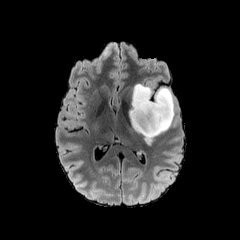
FLAIR MR image.
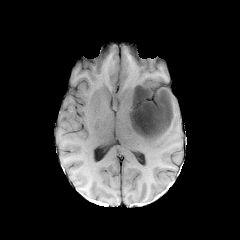
T1-weighted magnetic resonance.
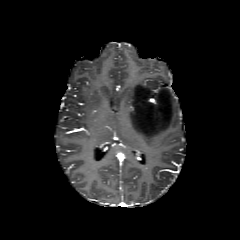
Post-contrast T1-weighted MR.
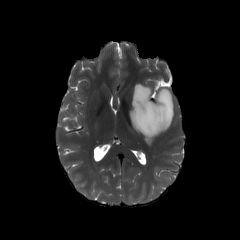
T2-weighted magnetic resonance.
Head, Axial slice, 240x240
{
  "peritumoral_edema": [
    "(x1=129, y1=84, x2=174, y2=144)"
  ]
}